Brain | Axial plane
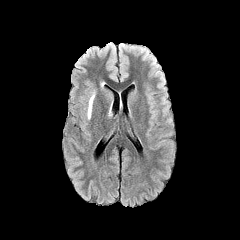
FLAIR MRI.
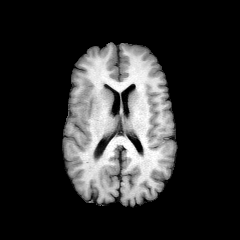
T1-weighted MR image of the same slice.
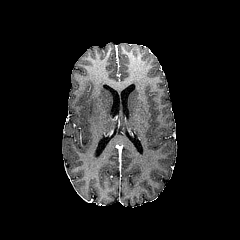
Post-contrast T1-weighted magnetic resonance.
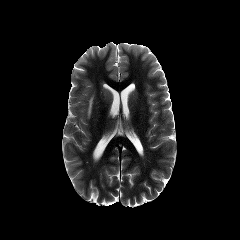
Same slice, T2-weighted MR.
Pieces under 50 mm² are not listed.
peritumoral edema = {"x1": 86, "y1": 90, "x2": 95, "y2": 119}